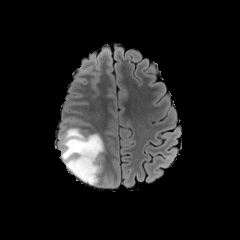
FLAIR MR image.
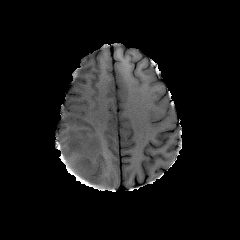
T1-weighted magnetic resonance of the same slice.
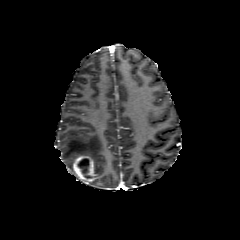
Post-contrast T1-weighted MRI.
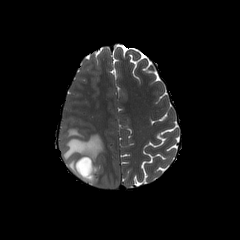
T2-weighted MRI of the same slice.
Axial view; Head; 240x240 px
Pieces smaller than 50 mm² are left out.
• enhancing tumor: (left=69, top=155, right=98, bottom=185)
• necrotic tumor core: (left=78, top=159, right=91, bottom=178)
• peritumoral edema: (left=59, top=128, right=104, bottom=174)